FLAIR MRI.
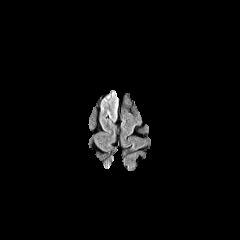
T1-weighted MR.
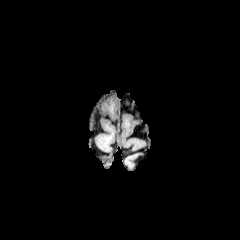
Post-contrast T1-weighted MRI.
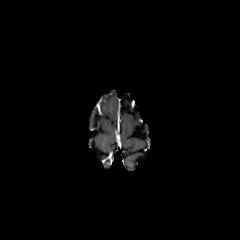
T2-weighted magnetic resonance.
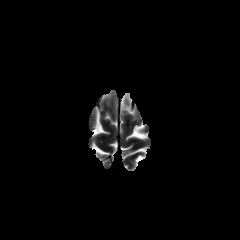
Brain.
Segmented structures:
* peritumoral edema: (left=101, top=91, right=118, bottom=120)